Head, Slice index 106
FLAIR MR image.
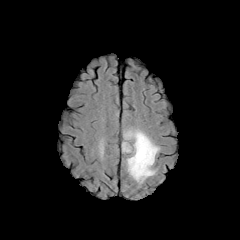
T1-weighted MR image.
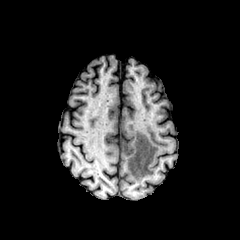
Post-contrast T1-weighted MRI.
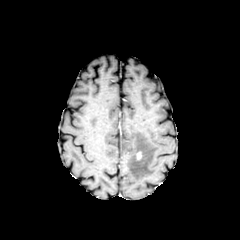
T2-weighted MRI.
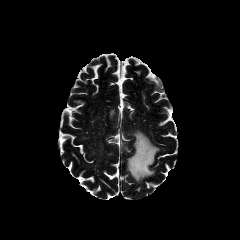
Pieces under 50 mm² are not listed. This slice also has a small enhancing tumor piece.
{
  "peritumoral_edema": [
    "(122,129,159,183)"
  ]
}